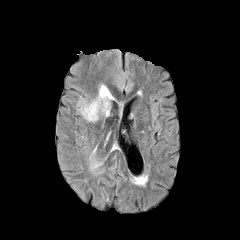
FLAIR magnetic resonance.
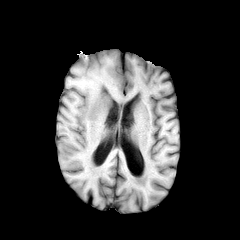
T1-weighted MRI.
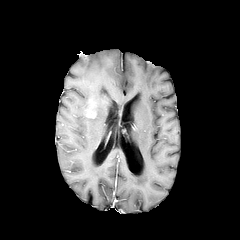
Post-contrast T1-weighted MR image of the same slice.
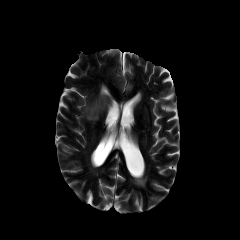
T2-weighted MR.
Axial view.
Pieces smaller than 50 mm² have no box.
Findings:
- peritumoral edema: (80, 85, 113, 121)
- enhancing tumor: (86, 101, 96, 118)